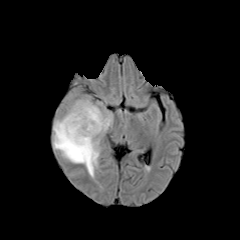
FLAIR magnetic resonance.
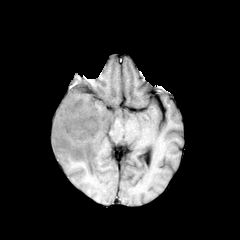
T1-weighted magnetic resonance of the same slice.
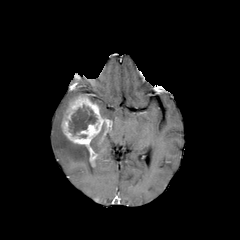
Post-contrast T1-weighted MR image of the same slice.
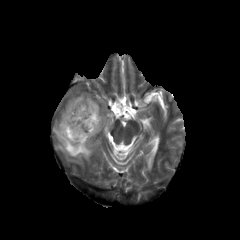
T2-weighted MR of the same slice.
Axial view, Brain
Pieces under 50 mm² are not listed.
<segmentation>
  <enhancing_tumor>bbox(61, 96, 111, 165)</enhancing_tumor>
  <necrotic_tumor_core>bbox(69, 105, 96, 135)</necrotic_tumor_core>
  <peritumoral_edema>bbox(100, 109, 113, 124); bbox(53, 114, 100, 176)</peritumoral_edema>
</segmentation>